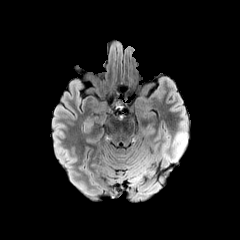
FLAIR magnetic resonance.
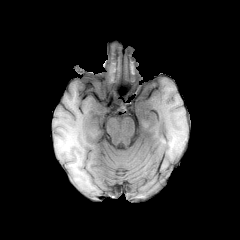
T1-weighted MRI of the same slice.
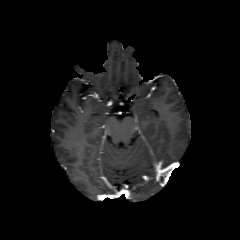
Post-contrast T1-weighted MRI.
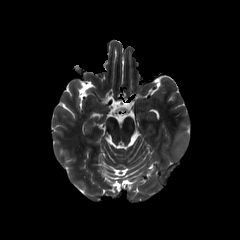
T2-weighted MR.
Axial plane.
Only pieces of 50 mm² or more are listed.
{
  "peritumoral_edema": [
    "<box>165,130,187,164</box>"
  ]
}